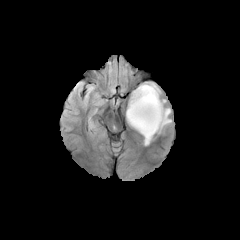
FLAIR magnetic resonance.
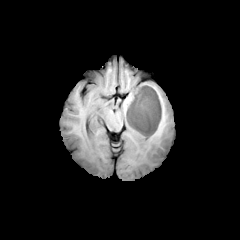
Same slice, T1-weighted MR.
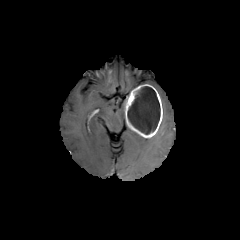
Post-contrast T1-weighted MR of the same slice.
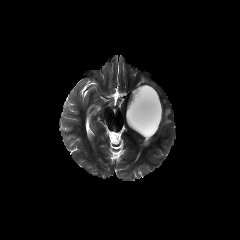
Same slice, T2-weighted magnetic resonance.
240x240 px; Head
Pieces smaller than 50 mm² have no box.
The necrotic tumor core is bounded by (127,86,159,134). The 2 largest peritumoral edema regions are bounded by (144,137,152,145), (157,107,171,133). The enhancing tumor is bounded by (125,84,162,138).